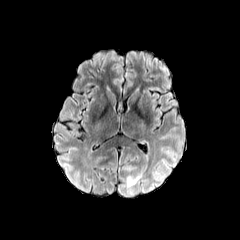
FLAIR MR image.
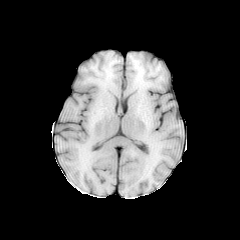
T1-weighted MR of the same slice.
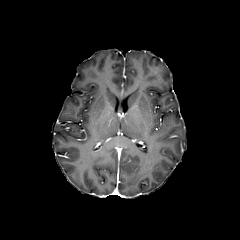
Post-contrast T1-weighted MRI of the same slice.
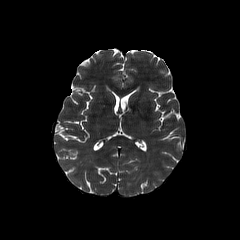
T2-weighted MR image.
Axial slice.
Segmented structures:
- peritumoral edema: (x1=128, y1=173, x2=141, y2=186)